240x240 px, Image covers 240 mm x 240 mm, Axial slice, Slice 89/155
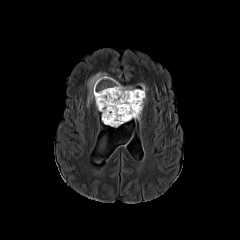
FLAIR MR.
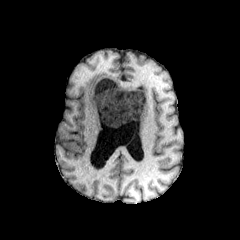
T1-weighted magnetic resonance.
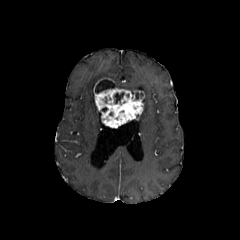
Post-contrast T1-weighted MRI.
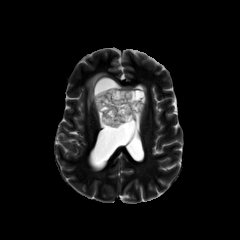
Same slice, T2-weighted MR image.
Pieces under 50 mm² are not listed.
enhancing tumor — (93, 78, 144, 127)
peritumoral edema — (140, 84, 146, 103), (87, 72, 139, 106)
necrotic tumor core — (114, 92, 124, 103), (95, 79, 116, 93)